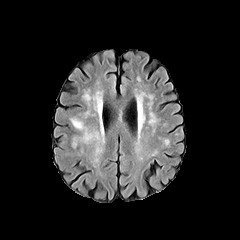
FLAIR MR.
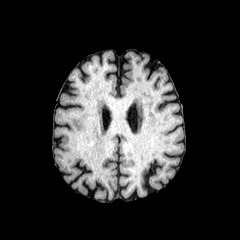
Same slice, T1-weighted MRI.
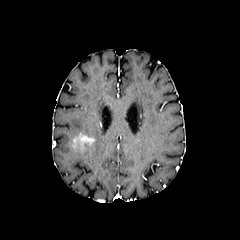
Post-contrast T1-weighted MR image.
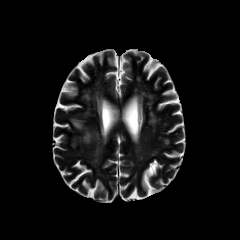
Same slice, T2-weighted MR image.
Brain | Image size 240x240
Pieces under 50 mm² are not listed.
{
  "enhancing_tumor": [
    "(left=73, top=135, right=94, bottom=144)"
  ],
  "peritumoral_edema": [
    "(left=69, top=116, right=94, bottom=138)"
  ]
}